Brain, Image width 240 mm
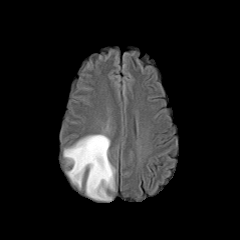
FLAIR MR image.
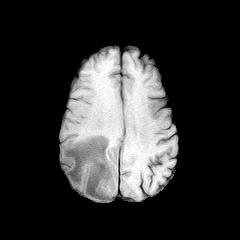
T1-weighted MR image.
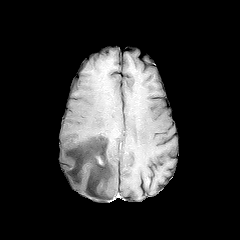
Post-contrast T1-weighted MR.
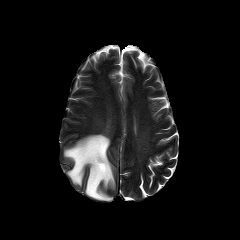
T2-weighted MRI.
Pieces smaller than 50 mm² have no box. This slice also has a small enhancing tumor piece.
The peritumoral edema is bounded by rect(63, 134, 115, 200).